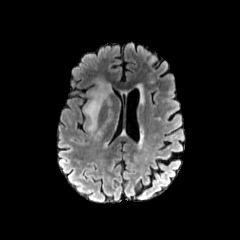
FLAIR magnetic resonance.
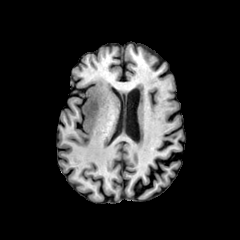
T1-weighted magnetic resonance.
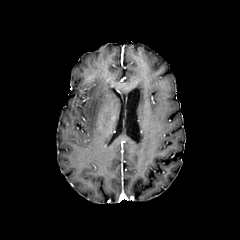
Post-contrast T1-weighted MRI of the same slice.
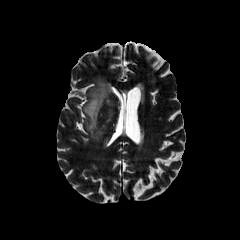
T2-weighted MR image.
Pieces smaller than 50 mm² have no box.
The largest peritumoral edema region lies within box=[84, 80, 112, 132].